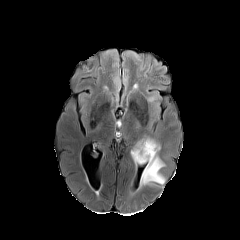
FLAIR MRI.
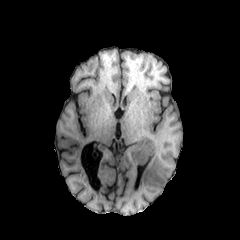
T1-weighted MRI.
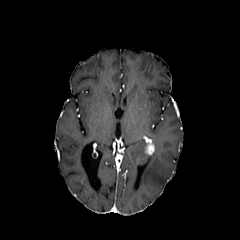
Post-contrast T1-weighted MRI.
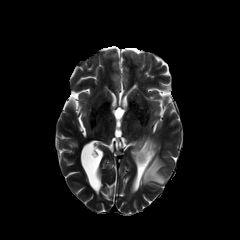
T2-weighted MR of the same slice.
240x240; Axial plane
enhancing tumor: rect(144, 143, 154, 155)
peritumoral edema: rect(140, 141, 165, 185); rect(131, 141, 148, 163)